FLAIR magnetic resonance.
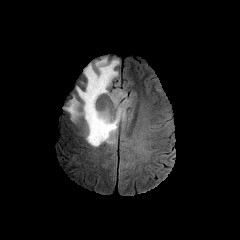
T1-weighted MR image.
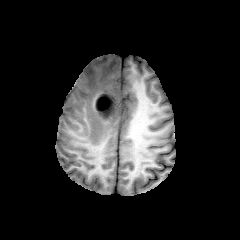
Post-contrast T1-weighted MRI.
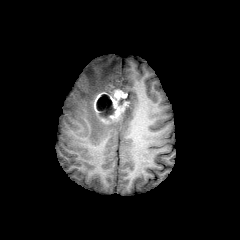
T2-weighted MRI.
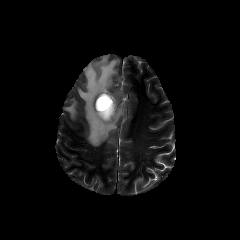
Axial slice. Head.
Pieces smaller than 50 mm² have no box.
{"necrotic_tumor_core": ["[96, 94, 114, 120]"], "enhancing_tumor": ["[94, 89, 128, 121]"], "peritumoral_edema": ["[64, 56, 125, 146]"]}